FLAIR MR.
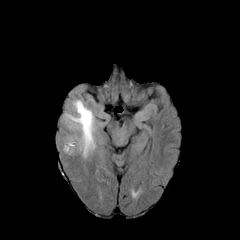
T1-weighted MR image.
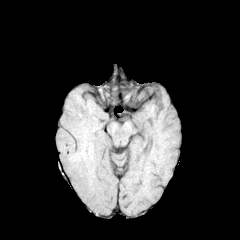
Post-contrast T1-weighted MRI.
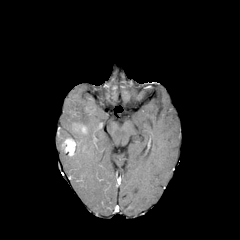
T2-weighted MR image.
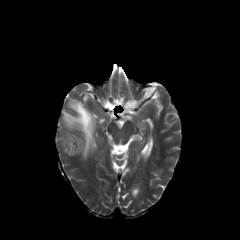
Head
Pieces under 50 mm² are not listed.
peritumoral edema = [x1=63, y1=99, x2=96, y2=157]
enhancing tumor = [x1=63, y1=138, x2=76, y2=155]